240x240 px. Brain. Slice index 101.
FLAIR MRI.
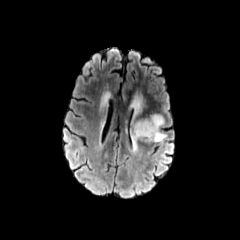
T1-weighted MRI.
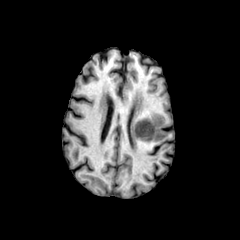
Post-contrast T1-weighted MR.
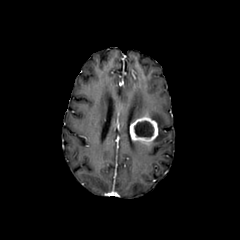
T2-weighted MR.
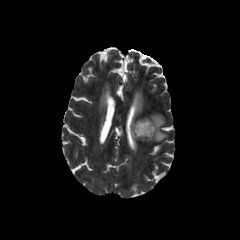
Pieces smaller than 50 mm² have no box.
The necrotic tumor core is located at <box>134,121,153,137</box>. The 2 largest peritumoral edema regions are located at <box>131,95,142,122</box>, <box>149,114,166,142</box>. The enhancing tumor lies within <box>129,115,158,144</box>.